Head | Slice index 114
FLAIR MR.
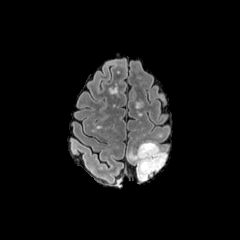
T1-weighted MR.
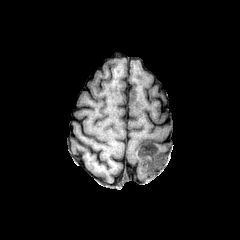
Post-contrast T1-weighted MR image.
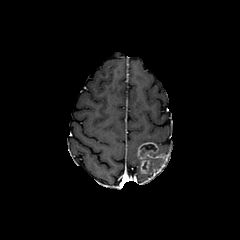
T2-weighted MRI.
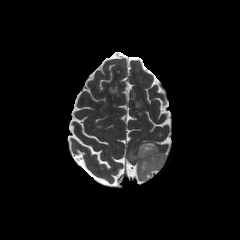
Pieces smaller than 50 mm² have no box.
The largest peritumoral edema region appears at box(128, 150, 164, 180). The enhancing tumor is located at box(137, 142, 164, 173). The largest necrotic tumor core region appears at box(140, 144, 156, 156).